Slice index 66
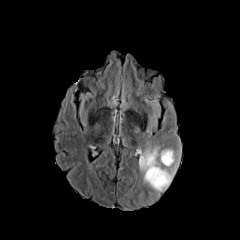
FLAIR MR image.
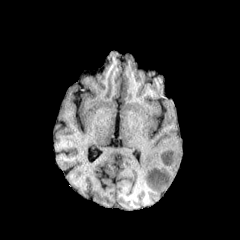
T1-weighted MR image.
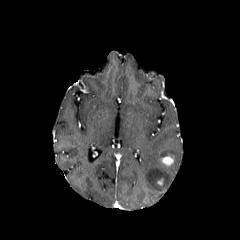
Post-contrast T1-weighted magnetic resonance of the same slice.
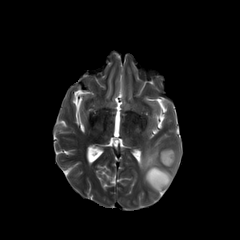
Same slice, T2-weighted magnetic resonance.
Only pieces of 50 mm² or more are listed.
enhancing tumor: bounding box (x1=161, y1=154, x2=173, y2=166)
peritumoral edema: bounding box (x1=139, y1=146, x2=180, y2=193)